FLAIR MR image.
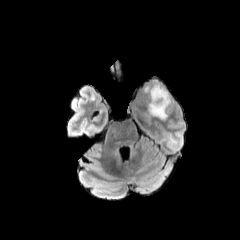
T1-weighted magnetic resonance.
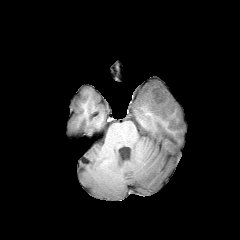
Post-contrast T1-weighted MR.
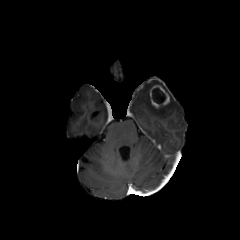
T2-weighted magnetic resonance.
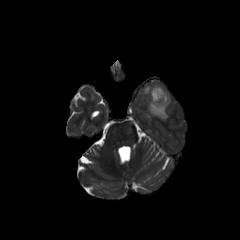
Head. 240x240 px. Axial slice.
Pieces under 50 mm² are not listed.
peritumoral edema at [x1=143, y1=80, x2=162, y2=96], [x1=148, y1=95, x2=173, y2=119]
enhancing tumor at [x1=149, y1=84, x2=169, y2=108]
necrotic tumor core at [x1=152, y1=88, x2=165, y2=103]